FLAIR MR image.
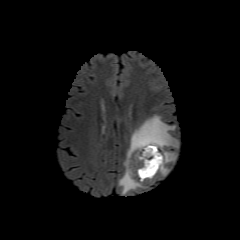
T1-weighted MRI.
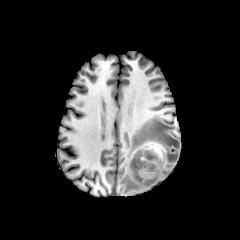
Post-contrast T1-weighted MR.
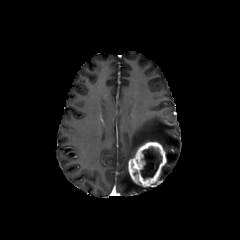
T2-weighted MR.
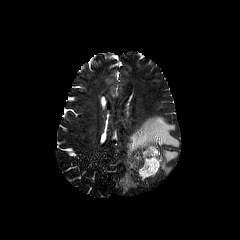
Brain
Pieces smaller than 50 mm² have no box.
necrotic tumor core at x1=140, y1=147, x2=161, y2=179
peritumoral edema at x1=165, y1=150, x2=177, y2=163; x1=160, y1=165, x2=170, y2=176; x1=119, y1=115, x2=178, y2=194
enhancing tumor at x1=128, y1=142, x2=166, y2=186